FLAIR magnetic resonance.
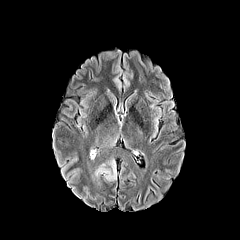
T1-weighted MR image.
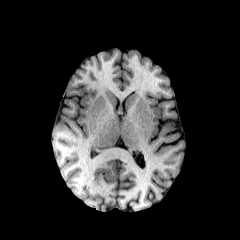
Post-contrast T1-weighted MRI.
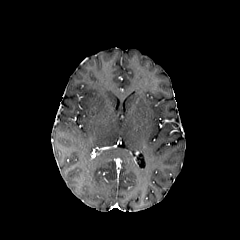
T2-weighted magnetic resonance.
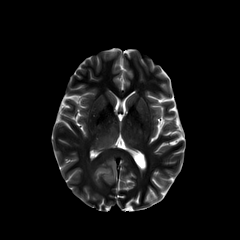
Axial slice, Head
{
  "peritumoral_edema": [
    "96:162:116:179"
  ]
}